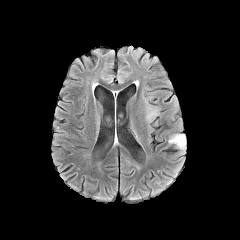
FLAIR MRI.
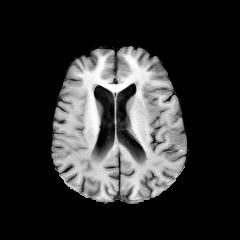
Same slice, T1-weighted MRI.
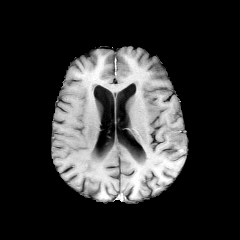
Post-contrast T1-weighted magnetic resonance.
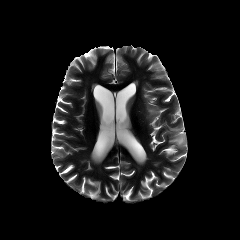
T2-weighted MRI.
Brain; 240x240 px
Findings:
- peritumoral edema: x1=168 y1=132 x2=186 y2=151, x1=147 y1=104 x2=160 y2=122